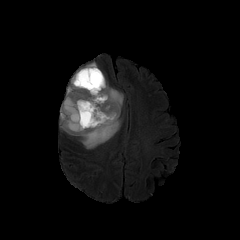
FLAIR MR.
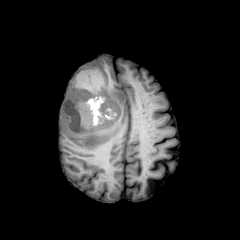
T1-weighted MR image of the same slice.
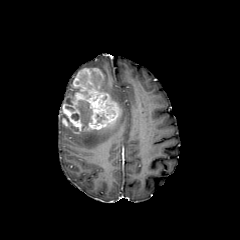
Same slice, post-contrast T1-weighted MR image.
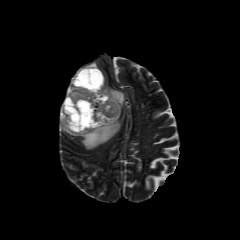
T2-weighted MRI.
240x240 px | Head
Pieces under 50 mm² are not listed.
<segmentation>
  <necrotic_tumor_core>[x1=91, y1=71, x2=103, y2=87], [x1=72, y1=101, x2=92, y2=129]</necrotic_tumor_core>
  <enhancing_tumor>[x1=61, y1=68, x2=120, y2=133], [x1=62, y1=118, x2=70, y2=127]</enhancing_tumor>
  <peritumoral_edema>[x1=60, y1=106, x2=121, y2=149], [x1=78, y1=62, x2=97, y2=70], [x1=64, y1=71, x2=79, y2=103], [x1=100, y1=75, x2=124, y2=110]</peritumoral_edema>
</segmentation>